FLAIR MRI.
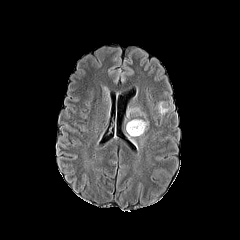
T1-weighted MR.
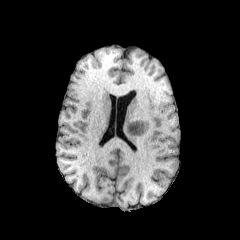
Post-contrast T1-weighted MR.
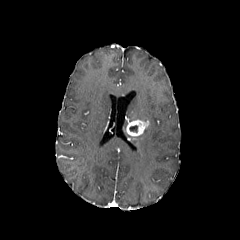
T2-weighted MR image.
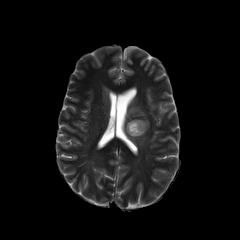
Brain | 240x240
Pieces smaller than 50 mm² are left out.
Annotated regions:
* enhancing tumor: 126, 119, 148, 136
* necrotic tumor core: 129, 125, 137, 132
* peritumoral edema: 158, 102, 168, 114; 128, 108, 144, 116